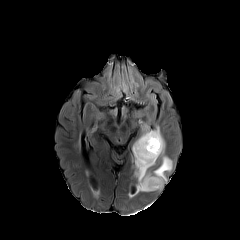
FLAIR MR.
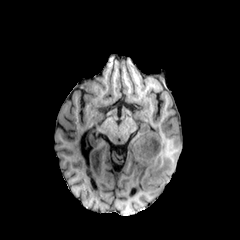
T1-weighted MRI.
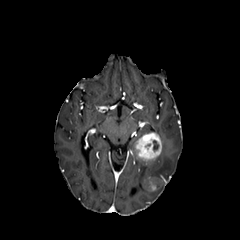
Post-contrast T1-weighted MR image.
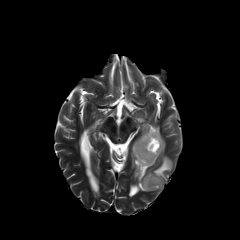
T2-weighted MRI.
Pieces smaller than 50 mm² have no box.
necrotic_tumor_core:
  - x1=153, y1=139, x2=158, y2=150
enhancing_tumor:
  - x1=144, y1=176, x2=162, y2=190
  - x1=134, y1=132, x2=162, y2=164
peritumoral_edema:
  - x1=132, y1=145, x2=172, y2=191
  - x1=142, y1=125, x2=164, y2=155